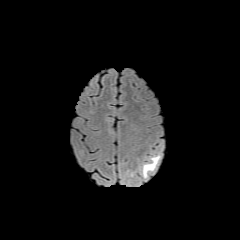
FLAIR MR image.
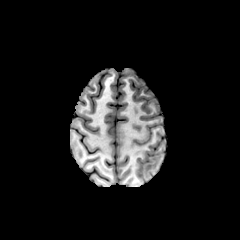
T1-weighted magnetic resonance.
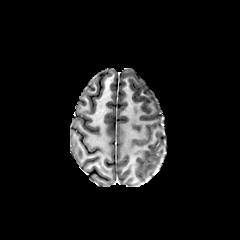
Post-contrast T1-weighted MR image.
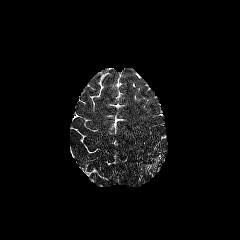
T2-weighted MR image of the same slice.
Head
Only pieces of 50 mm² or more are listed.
The largest peritumoral edema region is bounded by (left=142, top=155, right=160, bottom=177).